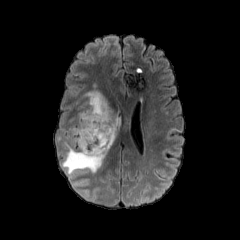
FLAIR MRI.
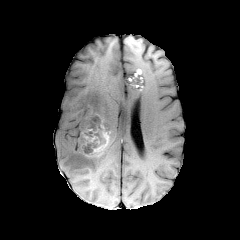
T1-weighted MR image.
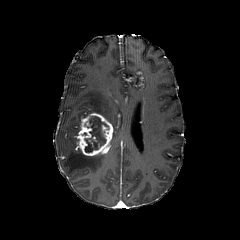
Same slice, post-contrast T1-weighted magnetic resonance.
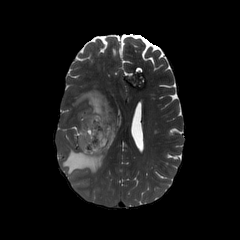
T2-weighted MRI.
Head, 240x240 px, Axial slice
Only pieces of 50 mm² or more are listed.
peritumoral edema: region(72, 90, 122, 145); region(62, 146, 106, 174)
enhancing tumor: region(77, 113, 113, 156)
necrotic tumor core: region(84, 116, 110, 152)